Head. Image covers 240 mm x 240 mm. Axial plane.
FLAIR MRI.
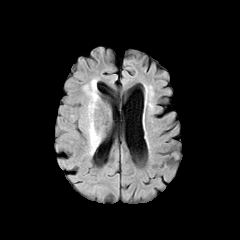
T1-weighted magnetic resonance.
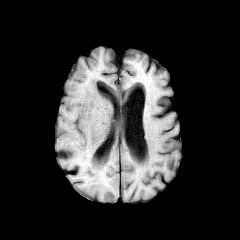
Post-contrast T1-weighted MR.
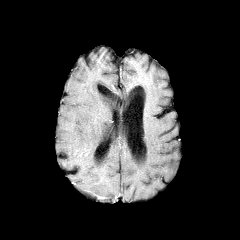
T2-weighted MRI.
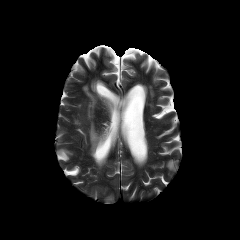
<segmentation>
  <peritumoral_edema>x1=84 y1=85 x2=101 y2=154</peritumoral_edema>
</segmentation>